Slice index 72. 240x240 px. Brain. Image width 240 mm.
FLAIR magnetic resonance.
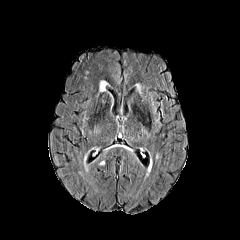
T1-weighted MR.
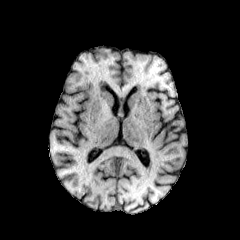
Post-contrast T1-weighted magnetic resonance.
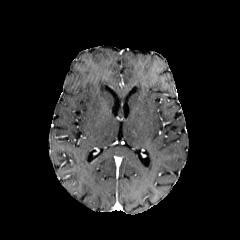
T2-weighted MR.
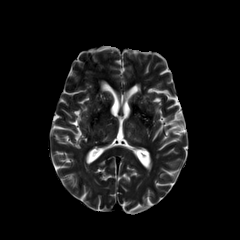
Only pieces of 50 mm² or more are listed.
{"peritumoral_edema": ["bbox=[100, 81, 107, 91]"]}